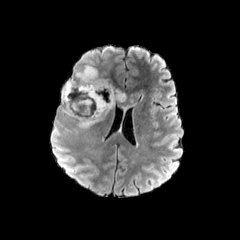
FLAIR MR.
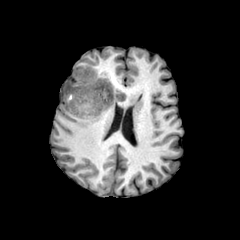
T1-weighted MR image.
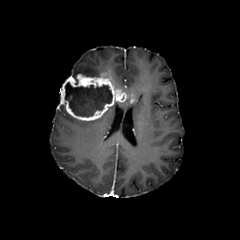
Same slice, post-contrast T1-weighted magnetic resonance.
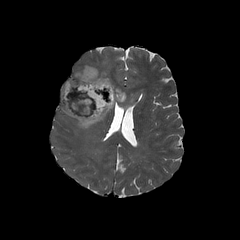
T2-weighted MR image of the same slice.
Image size 240x240; Axial slice
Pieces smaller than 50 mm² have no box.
* necrotic tumor core: 65, 82, 112, 117
* enhancing tumor: 60, 73, 127, 121
* peritumoral edema: 130, 89, 142, 97; 77, 106, 113, 129; 72, 64, 101, 75